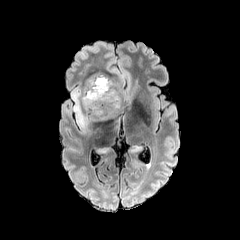
FLAIR magnetic resonance.
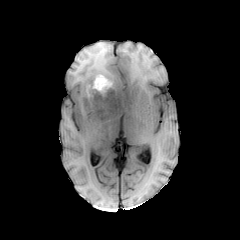
T1-weighted MR image.
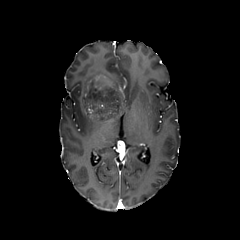
Post-contrast T1-weighted MR of the same slice.
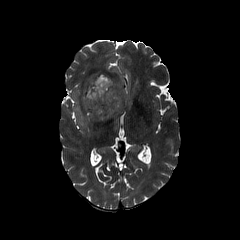
T2-weighted MR.
Brain
Findings:
• enhancing tumor: box(94, 74, 108, 90)
• peritumoral edema: box(71, 71, 133, 127)